Slice index 124; Image size 240x240; Brain
FLAIR MRI.
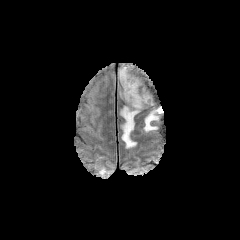
T1-weighted MRI.
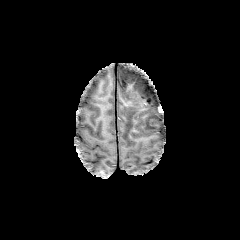
Post-contrast T1-weighted MR image.
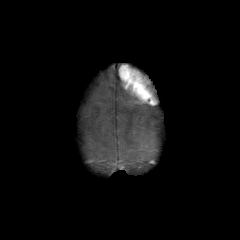
T2-weighted MRI.
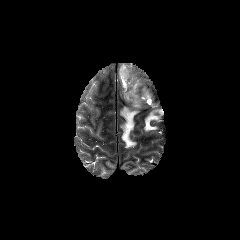
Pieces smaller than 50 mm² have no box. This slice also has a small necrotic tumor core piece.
enhancing tumor — region(119, 64, 159, 106)
peritumoral edema — region(144, 109, 163, 131); region(121, 107, 138, 147); region(120, 79, 158, 107)